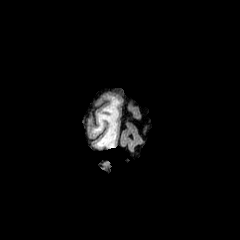
FLAIR MRI.
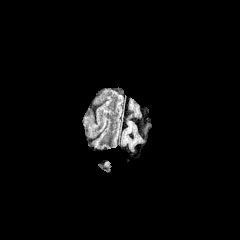
Same slice, T1-weighted magnetic resonance.
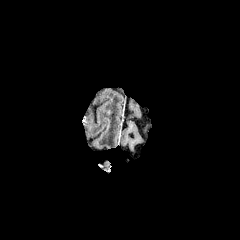
Post-contrast T1-weighted MRI.
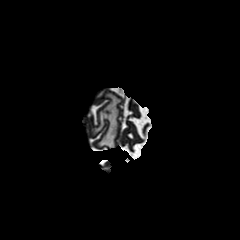
T2-weighted MR image of the same slice.
Brain. Image size 240x240.
Annotated regions:
• peritumoral edema: [x1=92, y1=96, x2=120, y2=148]